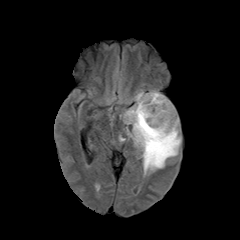
FLAIR MR.
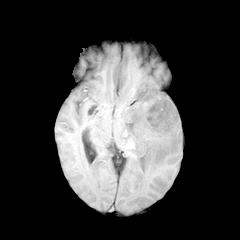
Same slice, T1-weighted magnetic resonance.
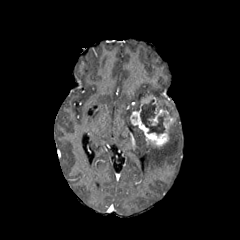
Post-contrast T1-weighted MRI.
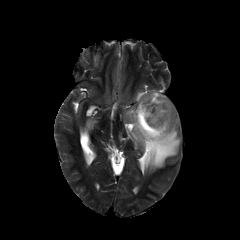
T2-weighted magnetic resonance.
Axial slice; Image size 240x240; Brain
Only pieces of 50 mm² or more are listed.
enhancing tumor: (130,95,177,147)
peritumoral edema: (133,116,181,174), (123,89,167,124)
necrotic tumor core: (140,99,165,135), (157,102,175,116)